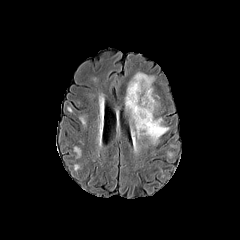
FLAIR MR.
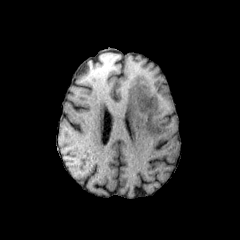
T1-weighted MRI.
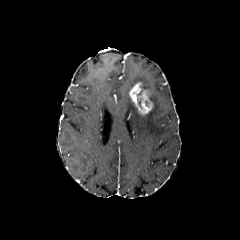
Same slice, post-contrast T1-weighted MR image.
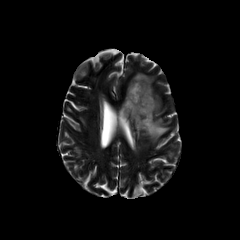
Same slice, T2-weighted MRI.
240x240 px; Brain
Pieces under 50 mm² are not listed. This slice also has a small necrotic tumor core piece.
enhancing tumor: 129:82:153:115 | peritumoral edema: 125:72:169:143